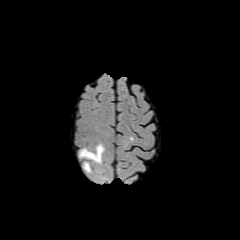
FLAIR MR.
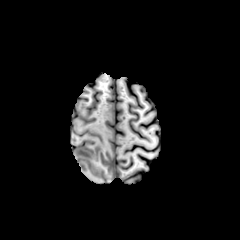
Same slice, T1-weighted MRI.
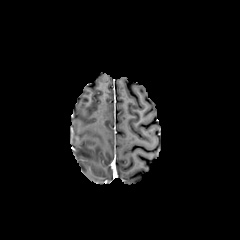
Post-contrast T1-weighted MRI.
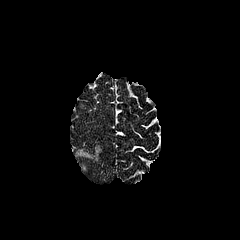
T2-weighted MRI.
Axial view
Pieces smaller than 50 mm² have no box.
<segmentation>
  <peritumoral_edema>(79, 145, 103, 162)</peritumoral_edema>
</segmentation>